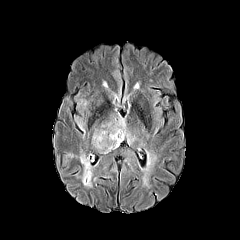
FLAIR MR image.
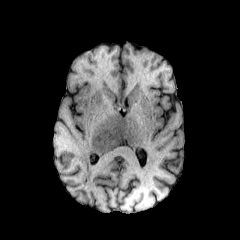
Same slice, T1-weighted magnetic resonance.
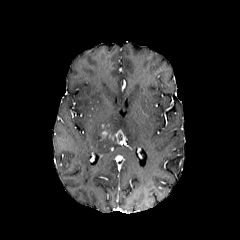
Post-contrast T1-weighted MR image of the same slice.
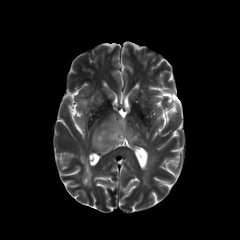
Same slice, T2-weighted magnetic resonance.
240x240; Axial slice
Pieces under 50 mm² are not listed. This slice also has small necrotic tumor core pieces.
The 2 largest peritumoral edema regions are bounded by 91 109 135 154, 79 154 92 187. The largest enhancing tumor region is located at 101 129 124 143.